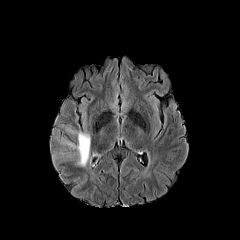
FLAIR MRI.
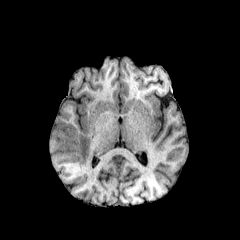
Same slice, T1-weighted MR.
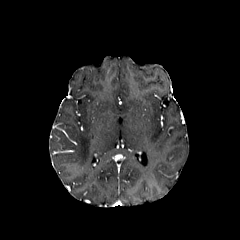
Post-contrast T1-weighted MRI.
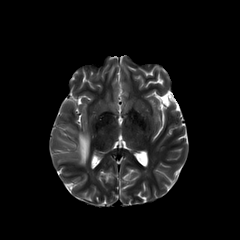
Same slice, T2-weighted MRI.
Brain
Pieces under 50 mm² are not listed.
{"peritumoral_edema": ["60:128:90:166"]}